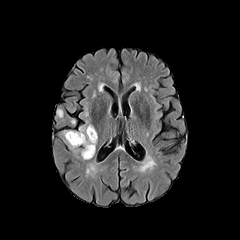
FLAIR MR image.
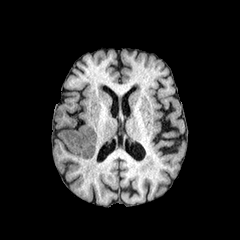
T1-weighted MRI.
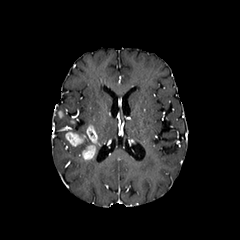
Post-contrast T1-weighted MR.
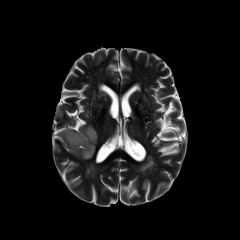
T2-weighted magnetic resonance of the same slice.
Brain
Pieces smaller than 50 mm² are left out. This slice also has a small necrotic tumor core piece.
<segmentation>
  <enhancing_tumor>82, 125, 97, 159; 65, 131, 86, 146</enhancing_tumor>
  <peritumoral_edema>71, 126, 92, 149</peritumoral_edema>
</segmentation>